240x240 px; Head; Slice index 96; Image width 240 mm; Axial plane
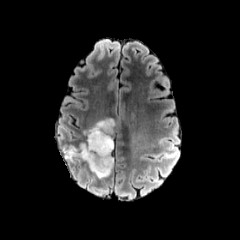
FLAIR MR.
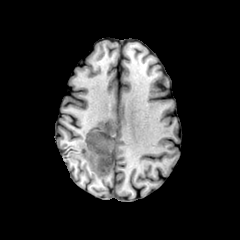
T1-weighted MRI.
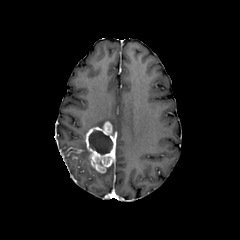
Post-contrast T1-weighted magnetic resonance.
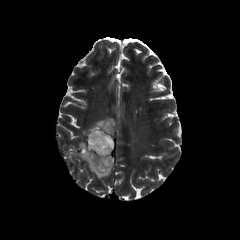
T2-weighted magnetic resonance.
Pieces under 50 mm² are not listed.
necrotic tumor core: {"x1": 88, "y1": 130, "x2": 113, "y2": 154} | enhancing tumor: {"x1": 85, "y1": 121, "x2": 115, "y2": 173}, {"x1": 66, "y1": 147, "x2": 82, "y2": 156} | peritumoral edema: {"x1": 64, "y1": 142, "x2": 113, "y2": 178}, {"x1": 91, "y1": 118, "x2": 115, "y2": 132}